FLAIR MR image.
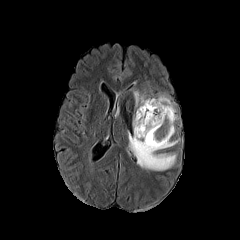
T1-weighted magnetic resonance.
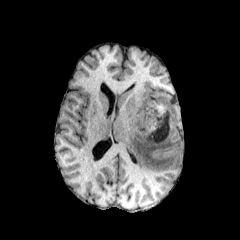
Post-contrast T1-weighted MRI.
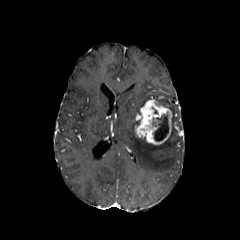
T2-weighted MR.
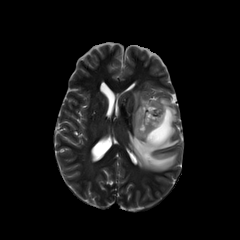
Head | 240x240 px | Axial slice
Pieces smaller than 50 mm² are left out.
enhancing tumor: box(135, 98, 172, 145)
necrotic tumor core: box(153, 115, 168, 140)
peritumoral edema: box(128, 91, 179, 171)